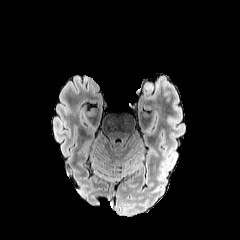
FLAIR magnetic resonance.
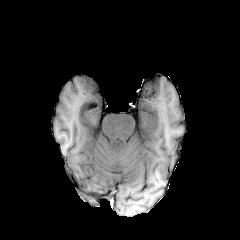
T1-weighted MR.
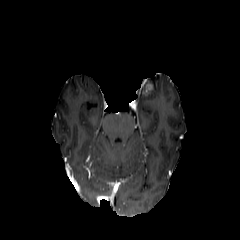
Post-contrast T1-weighted magnetic resonance of the same slice.
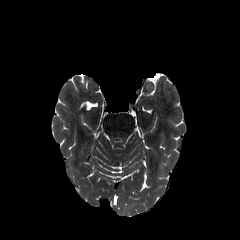
T2-weighted MR of the same slice.
Brain
The enhancing tumor lies within (143, 83, 151, 96).